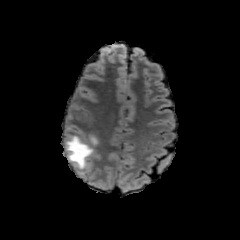
FLAIR magnetic resonance.
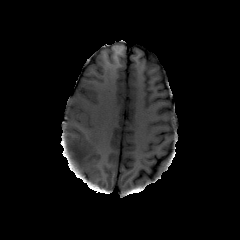
T1-weighted MR image.
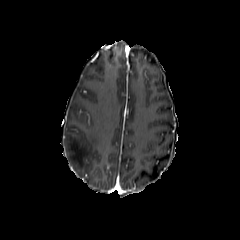
Post-contrast T1-weighted MR image of the same slice.
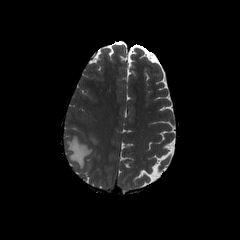
Same slice, T2-weighted MR image.
Brain
peritumoral edema: <box>90,135,97,145</box>, <box>66,136,92,168</box>